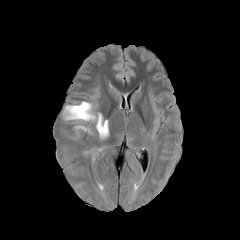
FLAIR MR.
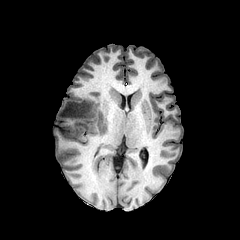
T1-weighted MR image.
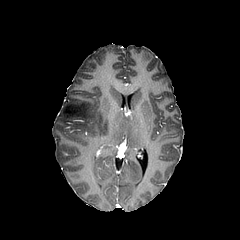
Post-contrast T1-weighted MRI.
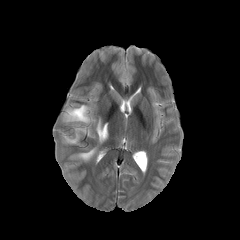
T2-weighted MR image.
Brain
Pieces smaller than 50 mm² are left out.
peritumoral edema: [75, 125, 89, 132], [63, 102, 108, 140]